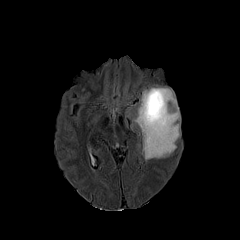
FLAIR MRI.
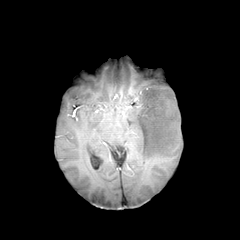
Same slice, T1-weighted magnetic resonance.
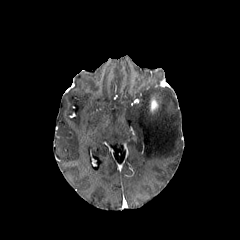
Same slice, post-contrast T1-weighted MR.
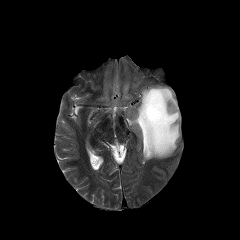
T2-weighted MR image.
Head | Axial slice
The peritumoral edema is at x1=132 y1=87 x2=180 y2=160. The enhancing tumor is located at x1=150 y1=98 x2=157 y2=111.